Slice 94 of 155; Image width 240 mm; Head; Axial slice
FLAIR MRI.
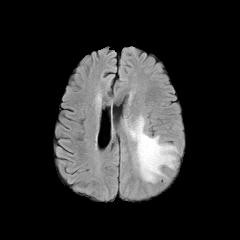
T1-weighted MRI.
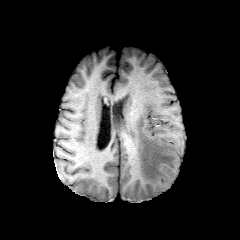
Post-contrast T1-weighted MR image.
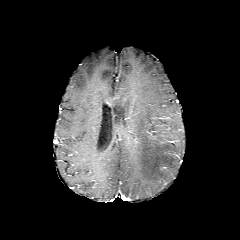
T2-weighted magnetic resonance.
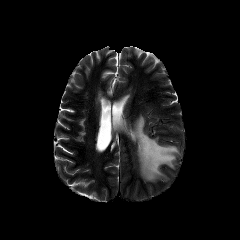
peritumoral edema: (127,115,178,182)